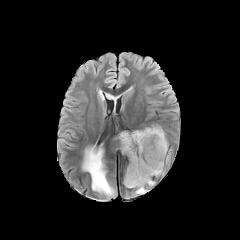
FLAIR MRI.
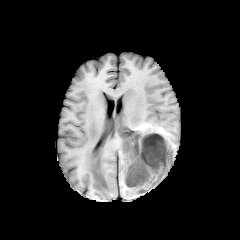
Same slice, T1-weighted MR image.
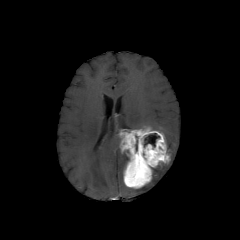
Post-contrast T1-weighted magnetic resonance.
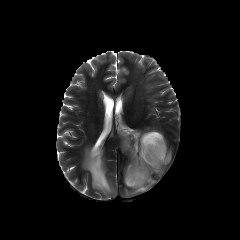
T2-weighted MRI.
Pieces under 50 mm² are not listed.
The 5 largest peritumoral edema regions are bounded by left=113, top=136, right=121, bottom=151; left=132, top=179, right=155, bottom=194; left=82, top=146, right=115, bottom=197; left=152, top=164, right=168, bottom=176; left=150, top=126, right=164, bottom=135. The largest necrotic tumor core region appears at left=144, top=133, right=159, bottom=146. The enhancing tumor lies within left=119, top=127, right=170, bottom=188.